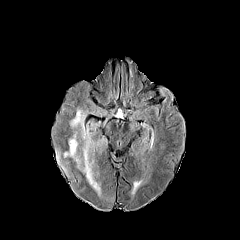
FLAIR magnetic resonance.
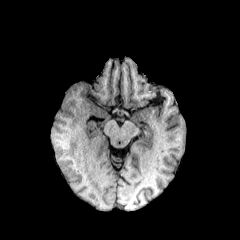
T1-weighted MR image.
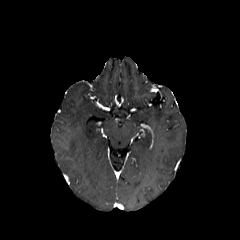
Post-contrast T1-weighted MR.
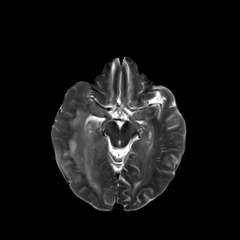
Same slice, T2-weighted magnetic resonance.
• peritumoral edema: 70:110:104:194, 64:134:80:168, 58:154:69:163, 65:167:81:179